FLAIR MR image.
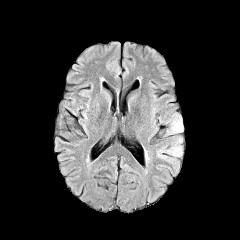
T1-weighted MRI.
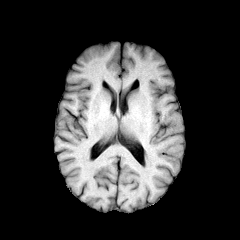
Post-contrast T1-weighted MRI.
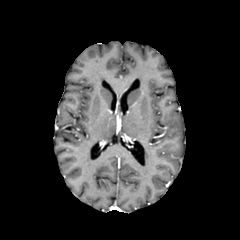
T2-weighted MR image.
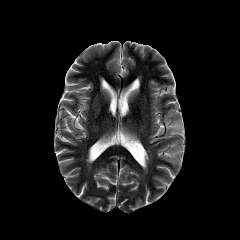
240x240 | Brain | Axial plane
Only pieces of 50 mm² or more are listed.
peritumoral edema: l=164, t=135, r=184, b=156; l=159, t=112, r=183, b=138; l=156, t=142, r=179, b=170